FLAIR MRI.
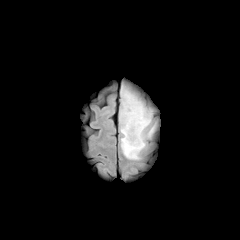
T1-weighted MRI.
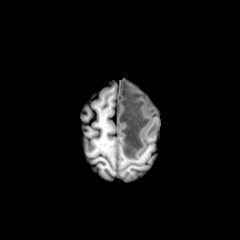
Post-contrast T1-weighted MR image.
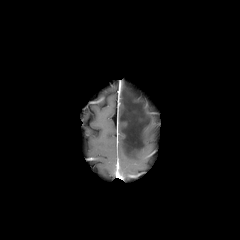
T2-weighted MR.
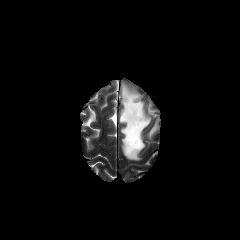
Head
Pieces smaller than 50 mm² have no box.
Annotated regions:
- peritumoral edema: [120,89,150,159]